FLAIR MRI.
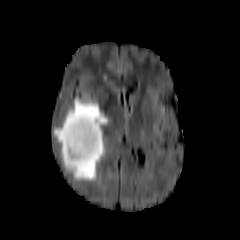
T1-weighted MRI.
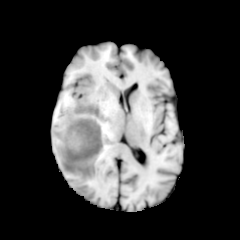
Post-contrast T1-weighted MR image.
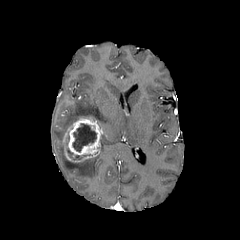
T2-weighted magnetic resonance.
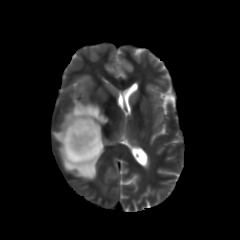
Brain
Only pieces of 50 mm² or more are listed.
necrotic tumor core: (66,147,82,160), (72,124,96,152) | peritumoral edema: (53,97,109,180) | enhancing tumor: (62,116,101,162)